Brain, 240x240
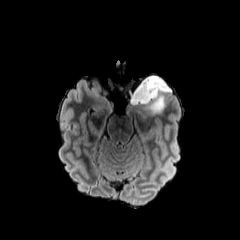
FLAIR magnetic resonance.
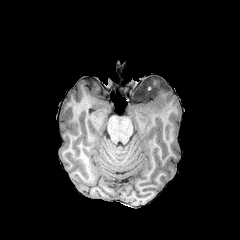
T1-weighted magnetic resonance.
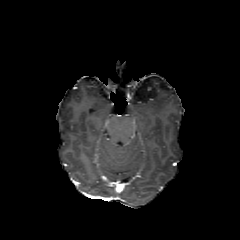
Post-contrast T1-weighted MR image.
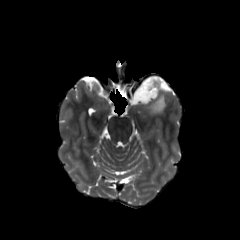
T2-weighted MR.
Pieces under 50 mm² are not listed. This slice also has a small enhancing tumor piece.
The peritumoral edema lies within left=131, top=75, right=171, bottom=114.